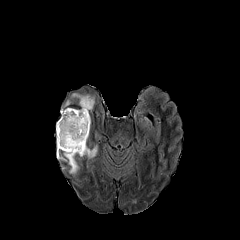
FLAIR MR image.
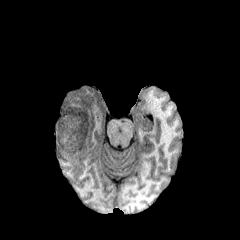
T1-weighted MRI of the same slice.
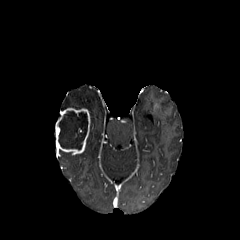
Same slice, post-contrast T1-weighted MR image.
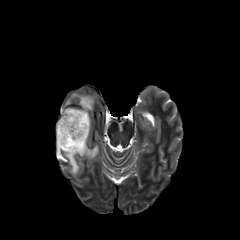
T2-weighted MRI.
240x240, Head
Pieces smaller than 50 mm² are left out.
<segmentation>
  <necrotic_tumor_core>rect(58, 111, 87, 150)</necrotic_tumor_core>
  <enhancing_tumor>rect(55, 108, 90, 155)</enhancing_tumor>
  <peritumoral_edema>rect(60, 152, 78, 174); rect(79, 145, 97, 158); rect(61, 93, 94, 111)</peritumoral_edema>
</segmentation>